FLAIR MRI.
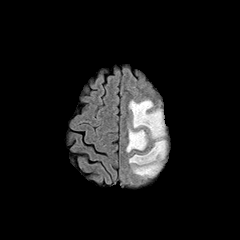
T1-weighted magnetic resonance.
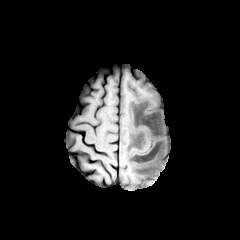
Post-contrast T1-weighted MR.
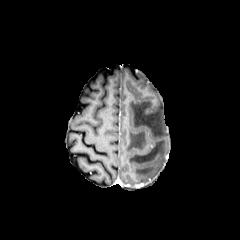
T2-weighted MRI.
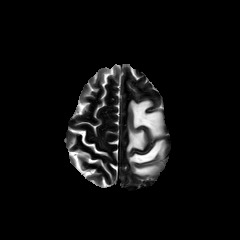
peritumoral edema = bbox(126, 127, 147, 152); bbox(129, 99, 166, 177)